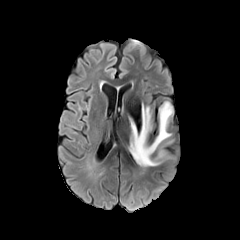
FLAIR magnetic resonance.
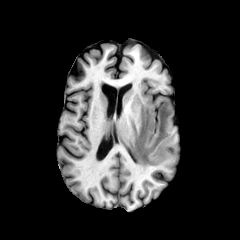
T1-weighted MR.
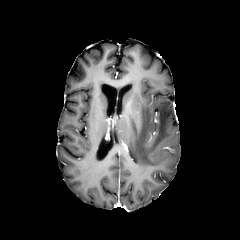
Same slice, post-contrast T1-weighted MRI.
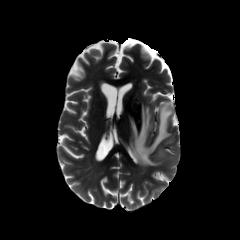
Same slice, T2-weighted MR image.
Brain
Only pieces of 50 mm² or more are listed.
The largest peritumoral edema region is at <box>129,101,173,167</box>.